240x240, Slice 55/155
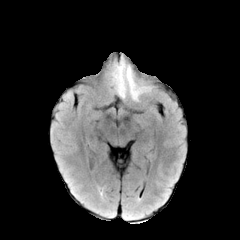
FLAIR magnetic resonance.
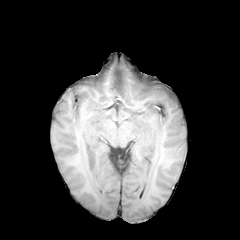
T1-weighted magnetic resonance.
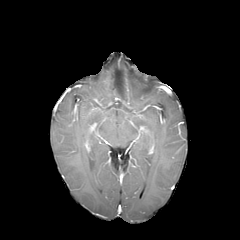
Post-contrast T1-weighted MR image of the same slice.
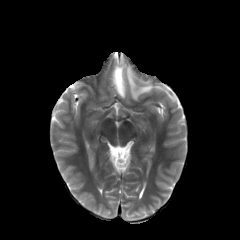
T2-weighted MR of the same slice.
• peritumoral edema: bbox(112, 61, 150, 100)